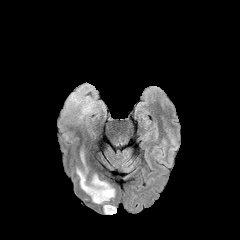
FLAIR MR.
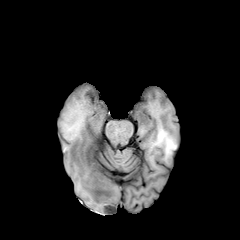
T1-weighted magnetic resonance of the same slice.
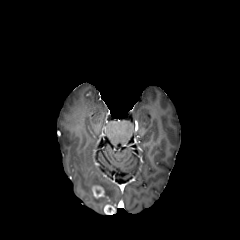
Post-contrast T1-weighted MR.
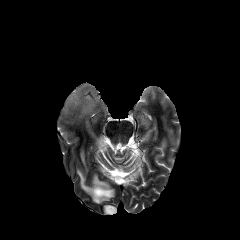
Same slice, T2-weighted MRI.
Brain
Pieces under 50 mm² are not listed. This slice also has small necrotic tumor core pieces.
Findings:
* peritumoral edema: 60:84:99:126, 77:168:114:203
* enhancing tumor: 104:205:115:214, 91:184:104:198